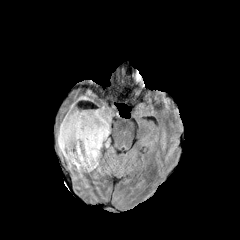
FLAIR MRI.
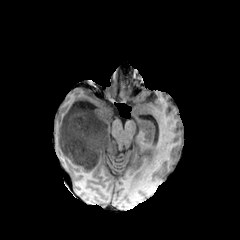
T1-weighted MRI.
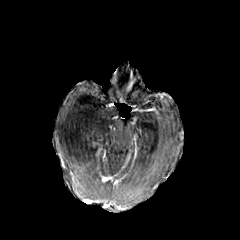
Post-contrast T1-weighted MRI of the same slice.
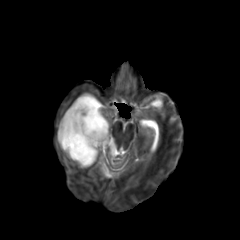
Same slice, T2-weighted MR image.
Axial slice
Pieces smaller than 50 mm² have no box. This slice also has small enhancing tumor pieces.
The 4 largest peritumoral edema regions appear at [77,91,98,104], [57,134,99,172], [93,105,110,147], [68,103,88,117]. The largest necrotic tumor core region is at [58,106,101,165].